FLAIR MR.
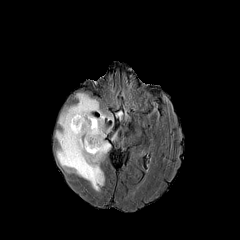
T1-weighted magnetic resonance.
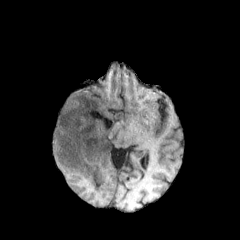
Post-contrast T1-weighted MR.
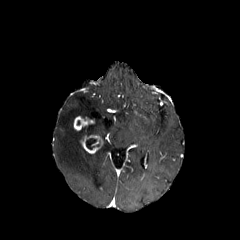
T2-weighted magnetic resonance.
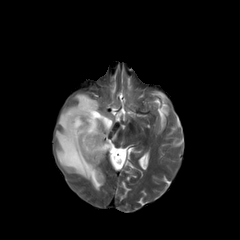
240x240 px, Brain
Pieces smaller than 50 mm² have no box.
necrotic tumor core: x1=86, y1=138, x2=99, y2=149
peritumoral edema: x1=55, y1=93, x2=111, y2=191
enhancing tumor: x1=73, y1=116, x2=94, y2=130; x1=80, y1=135, x2=103, y2=153